Image size 240x240 | Brain
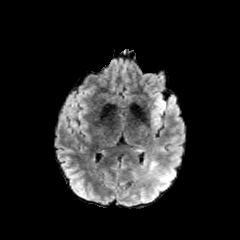
FLAIR magnetic resonance.
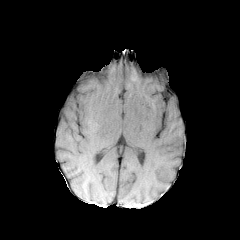
T1-weighted MRI.
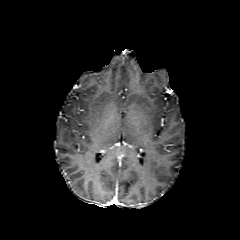
Post-contrast T1-weighted MR image.
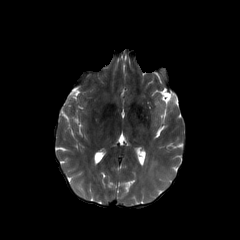
Same slice, T2-weighted MRI.
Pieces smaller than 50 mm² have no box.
peritumoral_edema:
  - box(152, 95, 175, 131)